FLAIR MRI.
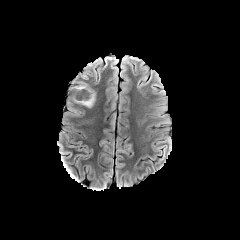
T1-weighted MRI.
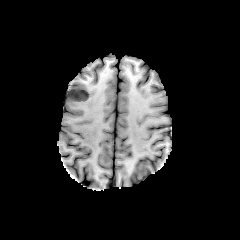
Post-contrast T1-weighted MR.
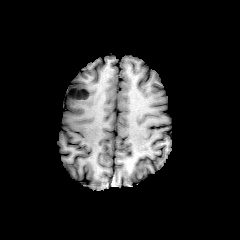
T2-weighted MR image.
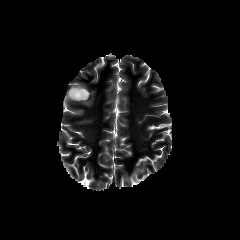
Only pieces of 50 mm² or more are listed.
{
  "necrotic_tumor_core": [
    "[69,88,88,98]"
  ],
  "peritumoral_edema": [
    "[74,92,95,107]",
    "[69,82,87,89]"
  ],
  "enhancing_tumor": [
    "[68,87,89,100]"
  ]
}